Slice 62/155
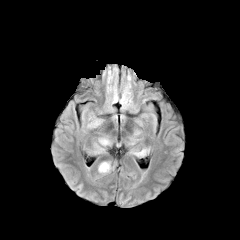
FLAIR magnetic resonance.
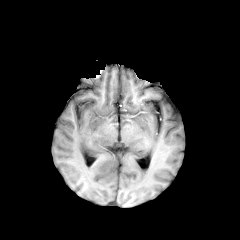
T1-weighted magnetic resonance.
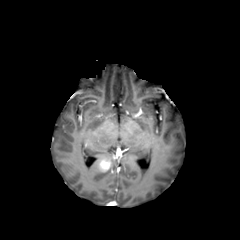
Post-contrast T1-weighted MR.
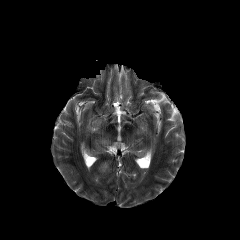
T2-weighted magnetic resonance.
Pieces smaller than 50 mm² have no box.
The largest peritumoral edema region appears at l=99, t=139, r=109, b=145. The enhancing tumor is located at l=98, t=161, r=110, b=171.